FLAIR MR image.
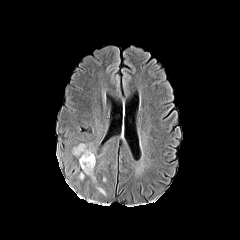
T1-weighted magnetic resonance.
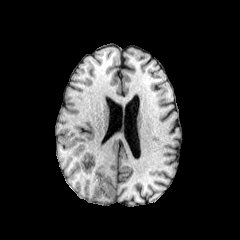
Post-contrast T1-weighted MR image.
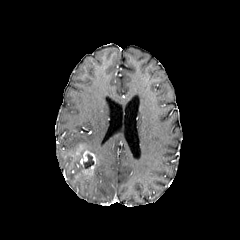
T2-weighted magnetic resonance.
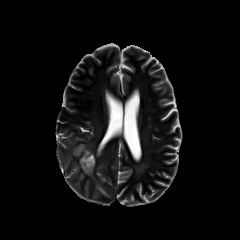
Axial view
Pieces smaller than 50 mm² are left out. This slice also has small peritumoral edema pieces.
Segmented structures:
• enhancing tumor: left=80, top=150, right=95, bottom=174; left=76, top=145, right=84, bottom=154
• necrotic tumor core: left=84, top=154, right=93, bottom=168